FLAIR magnetic resonance.
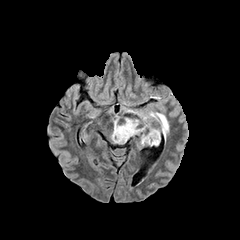
T1-weighted magnetic resonance.
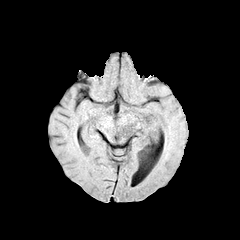
Post-contrast T1-weighted MR.
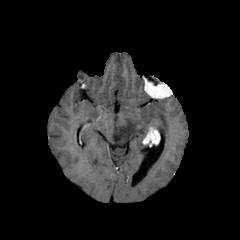
T2-weighted magnetic resonance.
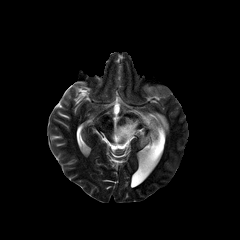
Brain
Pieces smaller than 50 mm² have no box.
The enhancing tumor lies within <box>142,127,160,146</box>. The largest peritumoral edema region appears at <box>111,110,168,143</box>.